FLAIR MRI.
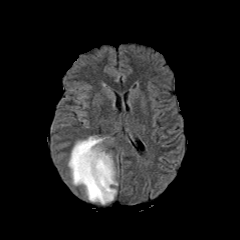
T1-weighted MRI.
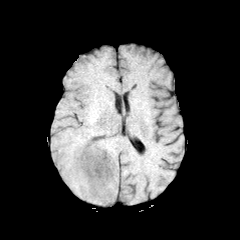
Post-contrast T1-weighted magnetic resonance.
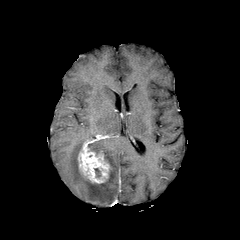
T2-weighted magnetic resonance.
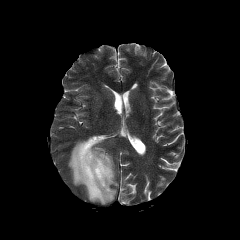
Axial view
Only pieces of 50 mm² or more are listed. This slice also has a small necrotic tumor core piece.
{
  "peritumoral_edema": [
    "[68,136,117,204]"
  ],
  "enhancing_tumor": [
    "[77,138,111,183]"
  ]
}